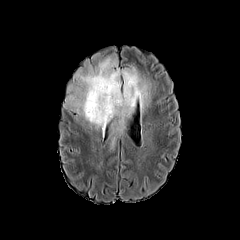
FLAIR MR.
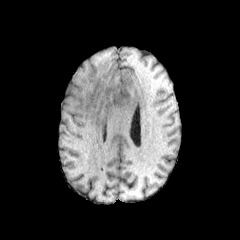
T1-weighted MR of the same slice.
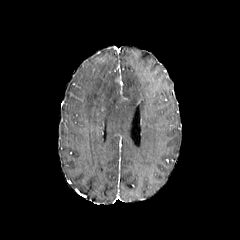
Post-contrast T1-weighted MR image of the same slice.
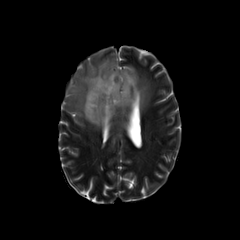
T2-weighted MR image of the same slice.
Axial plane
Segmented structures:
• peritumoral edema: 64, 58, 152, 127